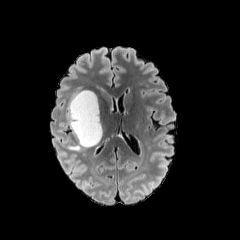
FLAIR MR.
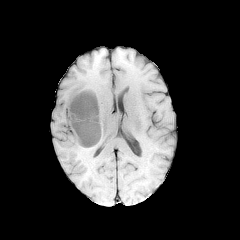
Same slice, T1-weighted MRI.
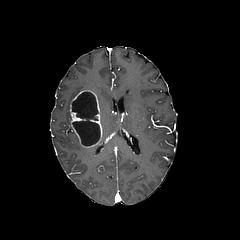
Same slice, post-contrast T1-weighted MRI.
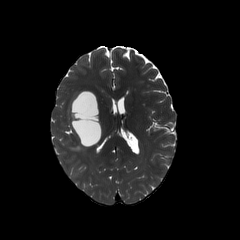
T2-weighted magnetic resonance.
Image size 240x240
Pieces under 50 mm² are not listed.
Segmented structures:
- enhancing tumor: <box>70,90,102,147</box>
- peritumoral edema: <box>68,91,79,126</box>, <box>68,143,83,150</box>
- necrotic tumor core: <box>73,121,100,146</box>, <box>72,92,97,120</box>